240x240 px; Image width 240 mm; Head
FLAIR MR image.
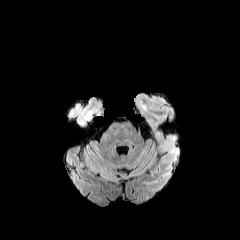
T1-weighted magnetic resonance.
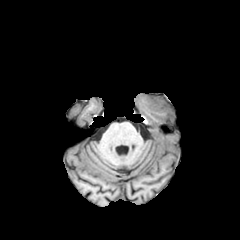
Post-contrast T1-weighted MRI.
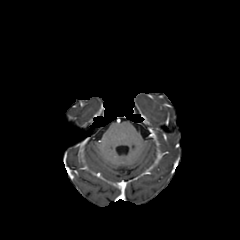
T2-weighted MR.
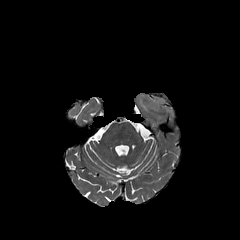
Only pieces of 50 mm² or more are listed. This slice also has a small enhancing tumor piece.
- peritumoral edema: [138, 95, 171, 112]